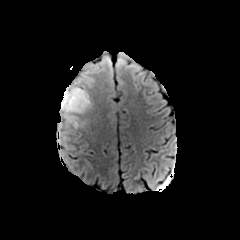
FLAIR magnetic resonance.
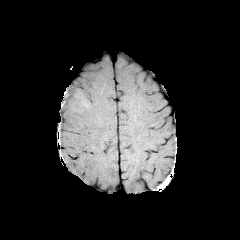
T1-weighted magnetic resonance of the same slice.
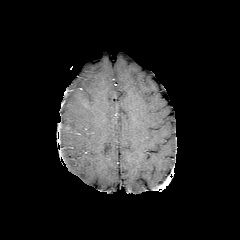
Same slice, post-contrast T1-weighted magnetic resonance.
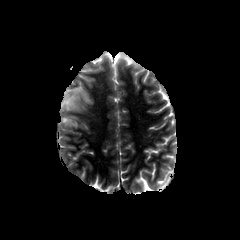
Same slice, T2-weighted MR.
Axial view
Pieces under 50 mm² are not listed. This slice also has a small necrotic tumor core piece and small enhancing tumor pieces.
peritumoral edema: bounding box <bbox>59, 85, 92, 131</bbox>